FLAIR MR.
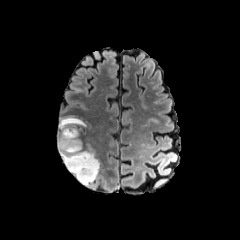
T1-weighted MRI.
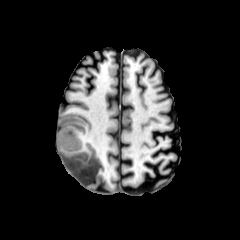
Post-contrast T1-weighted MRI.
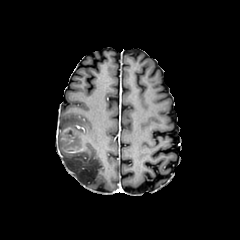
T2-weighted MR.
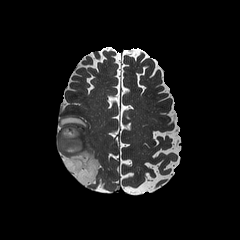
240x240 px. Axial view. Brain.
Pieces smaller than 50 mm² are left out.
peritumoral_edema:
  - 59, 115, 90, 136
  - 58, 135, 100, 185
enhancing_tumor:
  - 59, 125, 84, 153
necrotic_tumor_core:
  - 67, 138, 81, 148